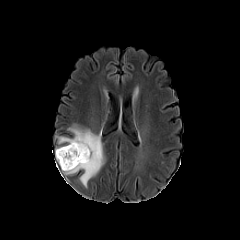
FLAIR magnetic resonance.
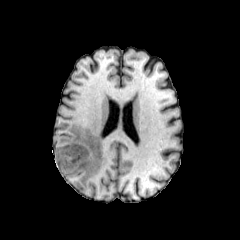
T1-weighted magnetic resonance.
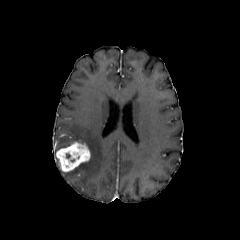
Post-contrast T1-weighted MR of the same slice.
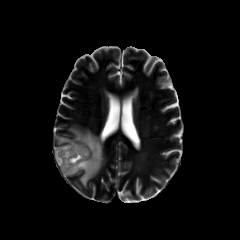
T2-weighted magnetic resonance of the same slice.
Axial plane
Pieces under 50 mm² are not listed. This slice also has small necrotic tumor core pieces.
Segmented structures:
- enhancing tumor: {"x1": 56, "y1": 141, "x2": 90, "y2": 172}
- peritumoral edema: {"x1": 56, "y1": 124, "x2": 104, "y2": 187}